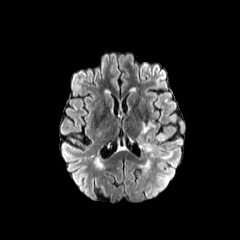
FLAIR magnetic resonance.
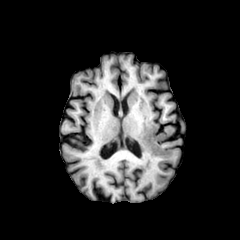
T1-weighted MRI.
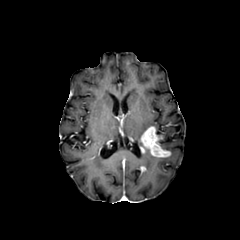
Post-contrast T1-weighted MR of the same slice.
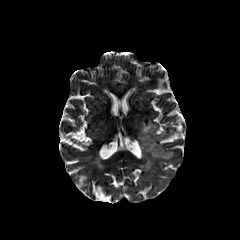
T2-weighted MRI.
240x240 px | Head
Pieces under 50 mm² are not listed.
The 2 largest peritumoral edema regions appear at box(143, 159, 150, 170); box(138, 121, 155, 139). The largest enhancing tumor region is bounded by box(140, 126, 170, 157).